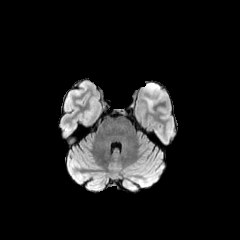
FLAIR magnetic resonance.
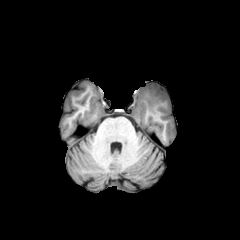
T1-weighted MRI.
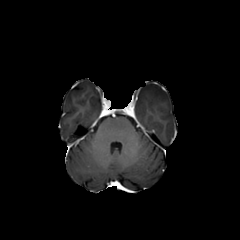
Post-contrast T1-weighted magnetic resonance.
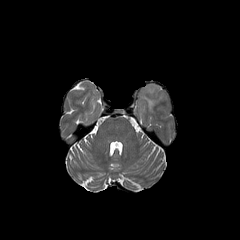
T2-weighted MRI.
Axial view. Head.
{"peritumoral_edema": ["144:83:166:114"]}